Axial plane; Brain
FLAIR MRI.
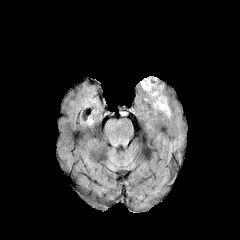
T1-weighted MR image.
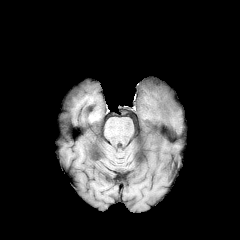
Post-contrast T1-weighted MRI.
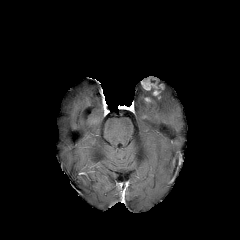
T2-weighted magnetic resonance.
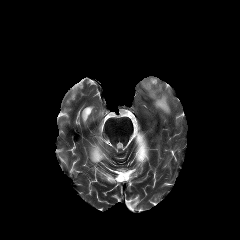
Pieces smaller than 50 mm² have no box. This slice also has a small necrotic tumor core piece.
enhancing tumor: [141,77,160,90] | peritumoral edema: [147,84,170,115]